Slice 110/155 | Image width 240 mm | Axial view | Image size 240x240
FLAIR MRI.
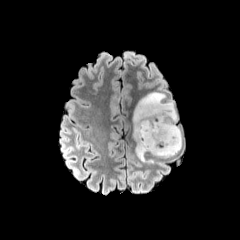
T1-weighted MR image.
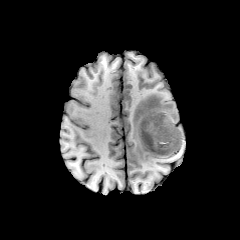
Post-contrast T1-weighted magnetic resonance.
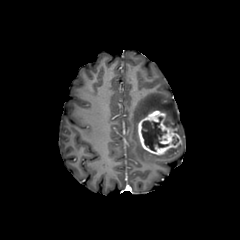
T2-weighted MR.
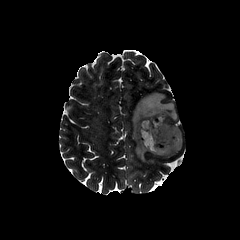
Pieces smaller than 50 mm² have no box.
Annotated regions:
- peritumoral edema: x1=150, y1=144, x2=181, y2=156; x1=132, y1=92, x2=181, y2=162
- enhancing tumor: x1=138, y1=110, x2=181, y2=154
- necrotic tumor core: x1=141, y1=116, x2=168, y2=151